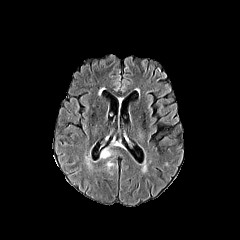
FLAIR magnetic resonance.
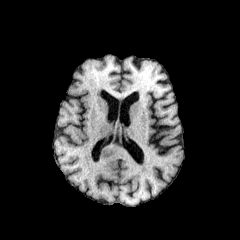
Same slice, T1-weighted MR image.
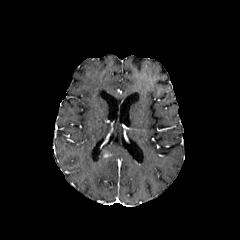
Post-contrast T1-weighted MR.
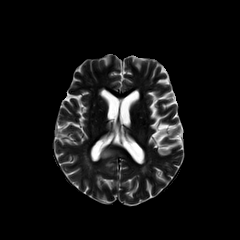
T2-weighted MR image.
Axial plane | Image size 240x240 | Head
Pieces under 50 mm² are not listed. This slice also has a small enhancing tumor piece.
{
  "peritumoral_edema": [
    "x1=100, y1=148, x2=121, y2=158"
  ]
}